FLAIR MRI.
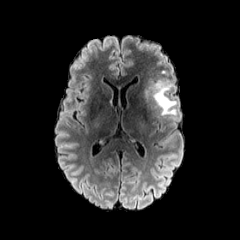
T1-weighted MR.
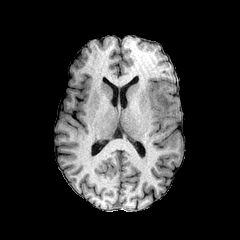
Post-contrast T1-weighted magnetic resonance.
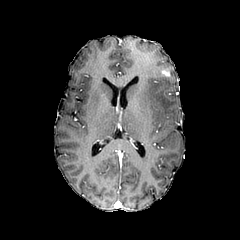
T2-weighted MR.
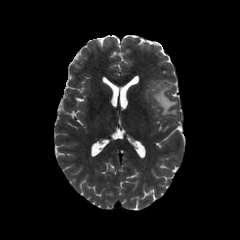
Head; Image size 240x240
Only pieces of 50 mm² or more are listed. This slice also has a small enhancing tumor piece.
Findings:
• peritumoral edema: 144, 82, 177, 115